Axial view | Brain | Slice index 98
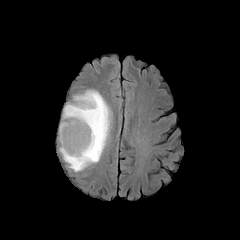
FLAIR MRI.
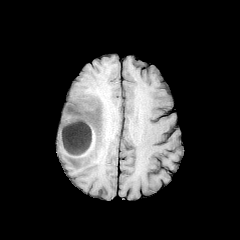
T1-weighted MRI.
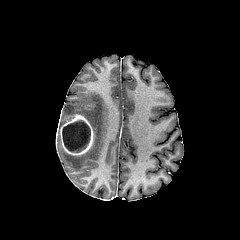
Same slice, post-contrast T1-weighted MR image.
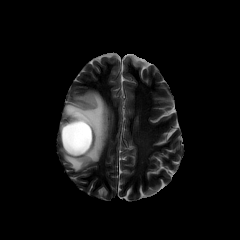
T2-weighted MR of the same slice.
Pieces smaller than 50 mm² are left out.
* peritumoral edema: l=59, t=90, r=110, b=171
* enhancing tumor: l=60, t=114, r=93, b=155
* necrotic tumor core: l=62, t=121, r=90, b=152